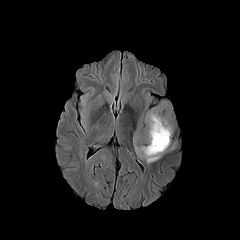
FLAIR magnetic resonance.
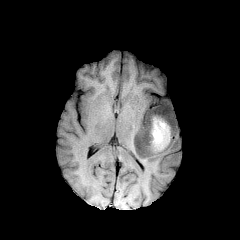
T1-weighted MR of the same slice.
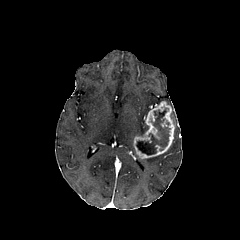
Same slice, post-contrast T1-weighted MR.
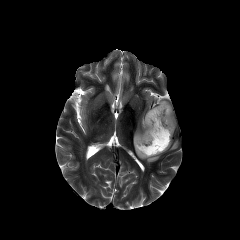
T2-weighted MR image.
Image size 240x240 | Brain
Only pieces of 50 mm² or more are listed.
peritumoral edema: box=[142, 154, 162, 162] | necrotic tumor core: box=[136, 110, 169, 155] | enhancing tumor: box=[133, 101, 175, 158]